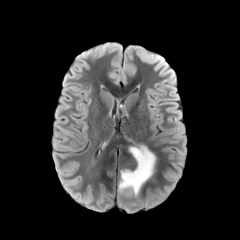
FLAIR MRI.
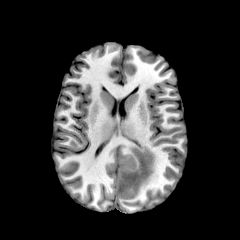
T1-weighted MR image of the same slice.
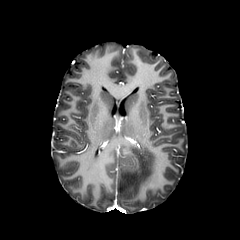
Post-contrast T1-weighted MR image of the same slice.
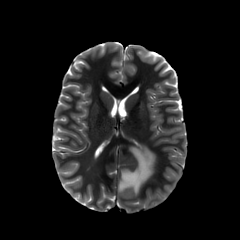
T2-weighted MR.
Image size 240x240
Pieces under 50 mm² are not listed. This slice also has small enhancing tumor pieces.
Annotated regions:
* necrotic tumor core: left=122, top=152, right=138, bottom=169
* peritumoral edema: left=118, top=145, right=155, bottom=196